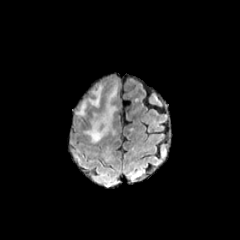
FLAIR MR image.
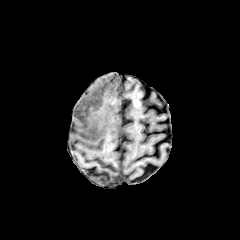
T1-weighted MR image.
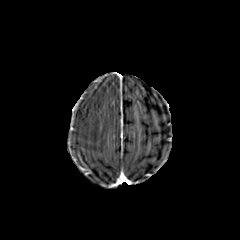
Post-contrast T1-weighted MRI of the same slice.
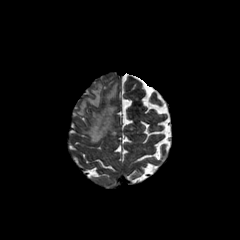
T2-weighted magnetic resonance.
Image size 240x240, Brain, Axial view
peritumoral edema = 84:84:117:142, 77:85:102:115